240x240; Image width 240 mm, 1.00 mm slice spacing; Slice 43/155
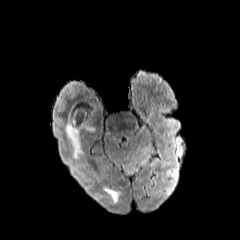
FLAIR MRI.
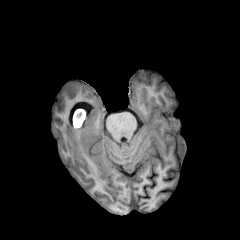
T1-weighted MR image.
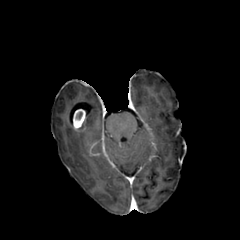
Post-contrast T1-weighted MR image.
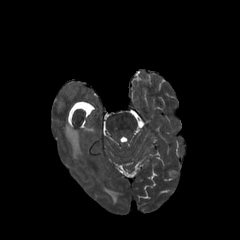
Same slice, T2-weighted MR.
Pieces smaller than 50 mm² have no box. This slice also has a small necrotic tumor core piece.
enhancing tumor: 73, 109, 85, 128 | peritumoral edema: 104, 187, 119, 202; 65, 120, 82, 158